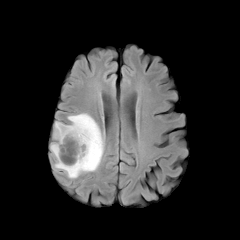
FLAIR MRI.
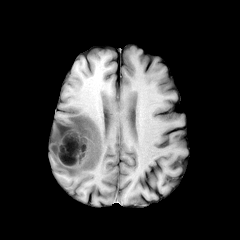
T1-weighted magnetic resonance of the same slice.
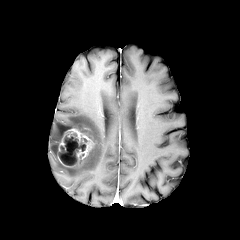
Same slice, post-contrast T1-weighted magnetic resonance.
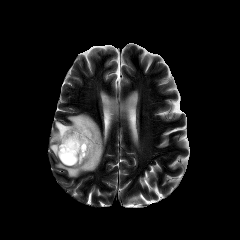
T2-weighted magnetic resonance of the same slice.
240x240; Head; Axial view
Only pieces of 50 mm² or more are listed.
- necrotic tumor core: [59, 136, 85, 165]
- enhancing tumor: [57, 127, 94, 167]
- peritumoral edema: [50, 113, 104, 178]